Slice index 100
FLAIR MRI.
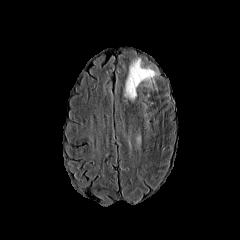
T1-weighted MR.
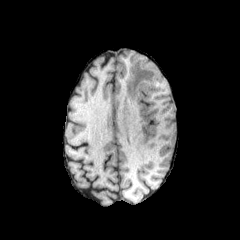
Post-contrast T1-weighted magnetic resonance.
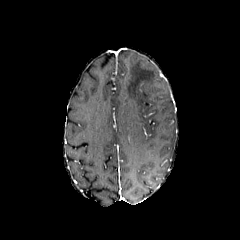
T2-weighted magnetic resonance.
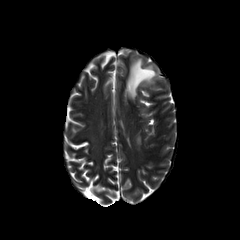
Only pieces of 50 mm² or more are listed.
The largest peritumoral edema region is at x1=124, y1=58, x2=157, y2=99.